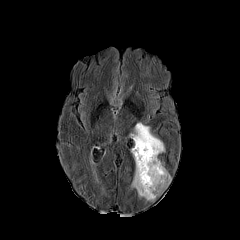
FLAIR magnetic resonance.
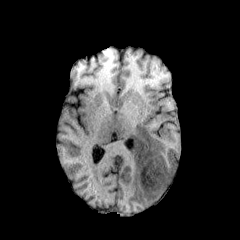
T1-weighted magnetic resonance.
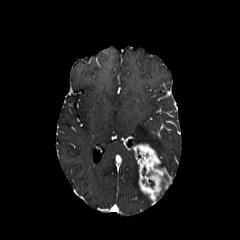
Post-contrast T1-weighted MR.
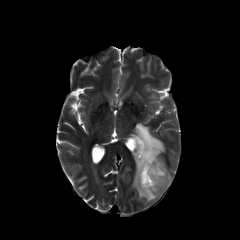
T2-weighted MRI of the same slice.
Brain
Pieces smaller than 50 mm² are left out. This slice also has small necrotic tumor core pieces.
<segmentation>
  <enhancing_tumor>[133, 143, 171, 201]</enhancing_tumor>
  <peritumoral_edema>[131, 123, 164, 154], [132, 159, 152, 201]</peritumoral_edema>
</segmentation>